Image width 240 mm | Head
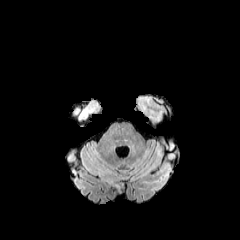
FLAIR magnetic resonance.
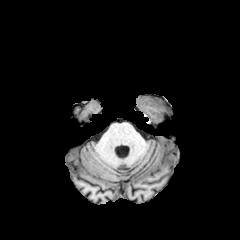
T1-weighted MR image.
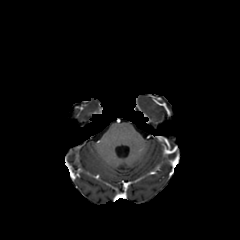
Post-contrast T1-weighted MR image.
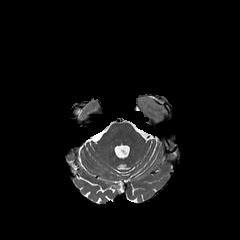
T2-weighted MR.
<segmentation>
  <peritumoral_edema>139, 97, 154, 111</peritumoral_edema>
</segmentation>